FLAIR magnetic resonance.
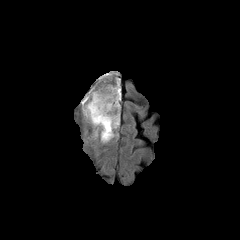
T1-weighted MRI.
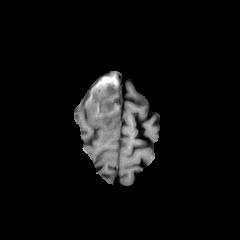
Post-contrast T1-weighted magnetic resonance.
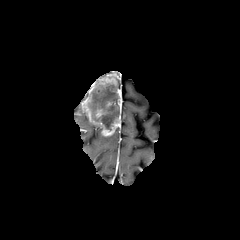
T2-weighted MRI.
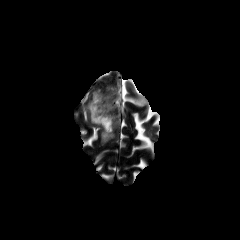
Head. Axial slice.
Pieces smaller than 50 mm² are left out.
necrotic tumor core: l=88, t=83, r=119, b=130 | enhancing tumor: l=95, t=109, r=104, b=117; l=81, t=75, r=121, b=136 | peritumoral edema: l=100, t=133, r=117, b=143